FLAIR MRI.
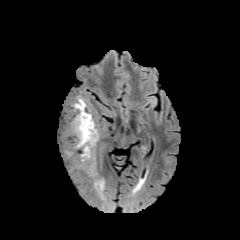
T1-weighted magnetic resonance.
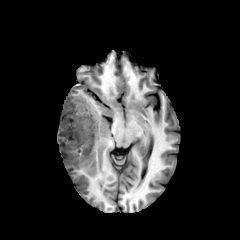
Post-contrast T1-weighted MR.
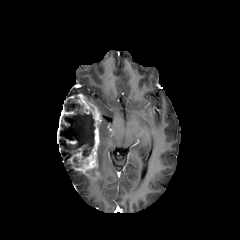
T2-weighted magnetic resonance.
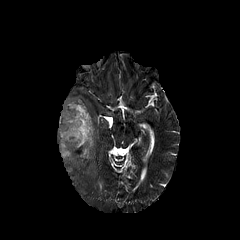
Axial slice
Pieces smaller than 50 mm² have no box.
necrotic_tumor_core:
  - [59, 99, 94, 158]
peritumoral_edema:
  - [94, 179, 104, 190]
enhancing_tumor:
  - [57, 94, 101, 179]